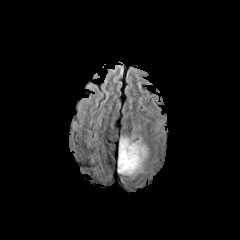
FLAIR MRI.
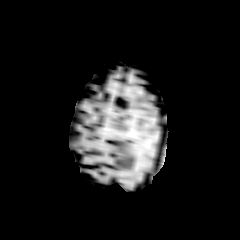
Same slice, T1-weighted MR.
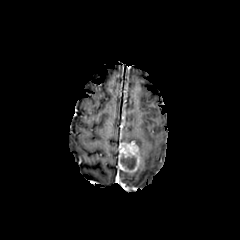
Post-contrast T1-weighted MR image.
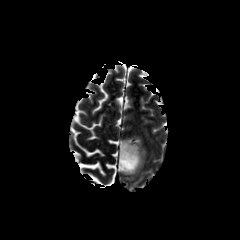
T2-weighted MR image of the same slice.
Axial slice. Head. 240x240.
Findings:
- necrotic tumor core: 120, 155, 135, 169
- peritumoral edema: 119, 140, 147, 174; 120, 138, 132, 143
- enhancing tumor: 118, 142, 139, 173